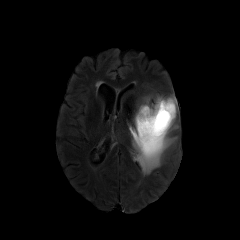
FLAIR MR image.
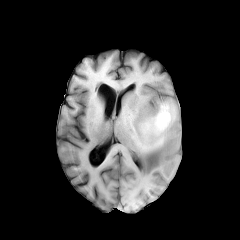
T1-weighted MR image.
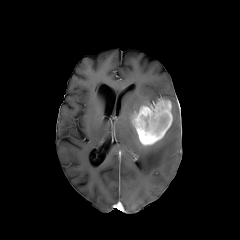
Post-contrast T1-weighted MR.
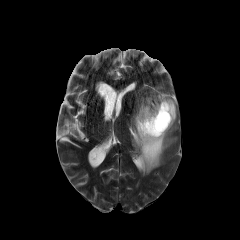
T2-weighted MR.
240x240 px | Axial plane | Head
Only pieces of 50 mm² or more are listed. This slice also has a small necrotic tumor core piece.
peritumoral edema: bounding box (135,97,152,112), (129,94,178,175)
enhancing tumor: bounding box (132,97,172,145)